FLAIR MR.
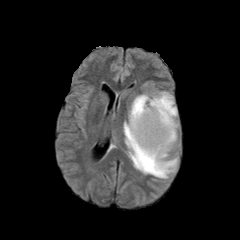
T1-weighted magnetic resonance.
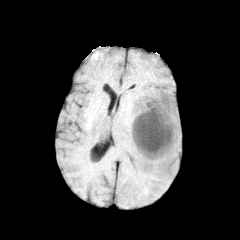
Post-contrast T1-weighted magnetic resonance.
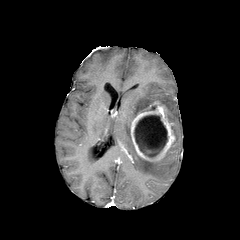
T2-weighted MR image.
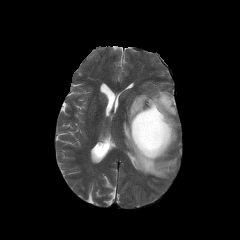
Axial slice, Head
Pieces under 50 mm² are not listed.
<segmentation>
  <necrotic_tumor_core>left=134, top=115, right=167, bottom=157</necrotic_tumor_core>
  <peritumoral_edema>left=123, top=91, right=178, bottom=178</peritumoral_edema>
  <enhancing_tumor>left=130, top=101, right=175, bottom=161</enhancing_tumor>
</segmentation>